FLAIR MR image.
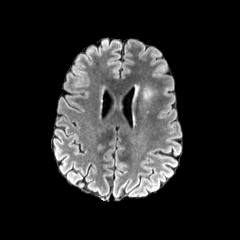
T1-weighted magnetic resonance.
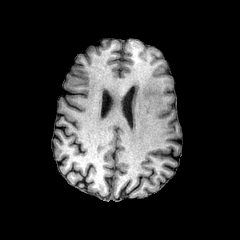
Post-contrast T1-weighted MR.
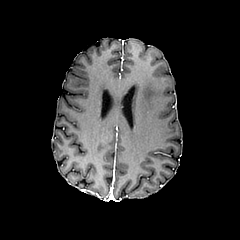
T2-weighted MRI.
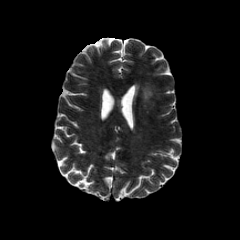
Brain
The peritumoral edema appears at bbox=[143, 86, 153, 101].